Head; 240x240
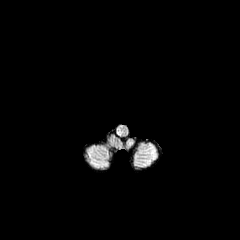
FLAIR MR image.
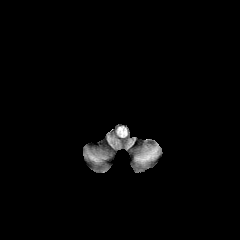
T1-weighted MR.
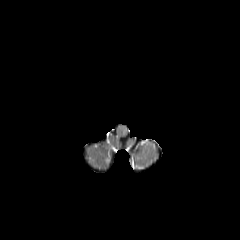
Post-contrast T1-weighted magnetic resonance.
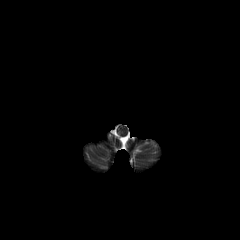
T2-weighted magnetic resonance.
peritumoral_edema:
  - box=[117, 125, 122, 135]